240x240 px. Slice 78/155. Axial view.
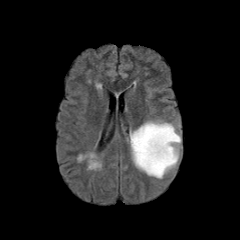
FLAIR MRI.
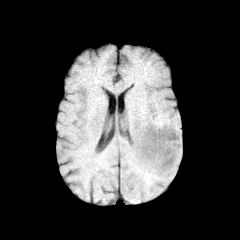
T1-weighted MR image.
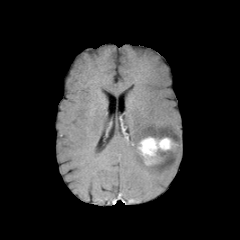
Same slice, post-contrast T1-weighted MR.
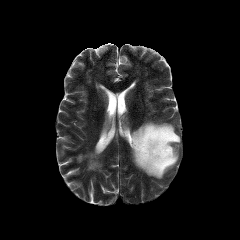
Same slice, T2-weighted magnetic resonance.
enhancing_tumor:
  - <bbox>137, 136, 176, 165</bbox>
necrotic_tumor_core:
  - <bbox>157, 150, 168, 156</bbox>
peritumoral_edema:
  - <bbox>129, 120, 181, 178</bbox>